FLAIR magnetic resonance.
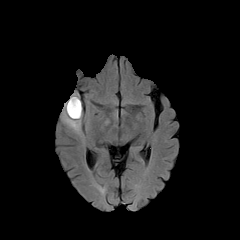
T1-weighted magnetic resonance.
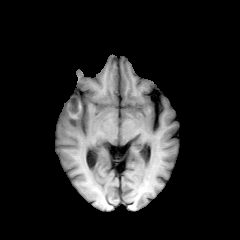
Post-contrast T1-weighted MR.
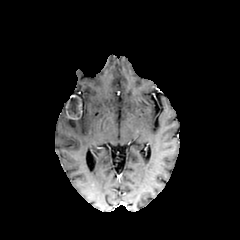
T2-weighted MRI.
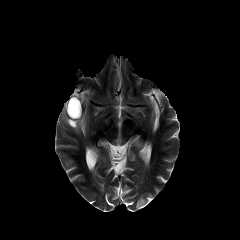
240x240 px.
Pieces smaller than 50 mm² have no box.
The largest peritumoral edema region is at bbox(61, 101, 81, 133). The largest enhancing tumor region is bounded by bbox(66, 99, 78, 119). The necrotic tumor core is bounded by bbox(67, 98, 80, 117).